FLAIR MR.
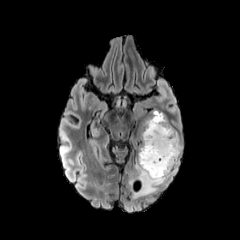
T1-weighted magnetic resonance.
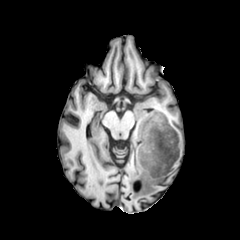
Post-contrast T1-weighted magnetic resonance.
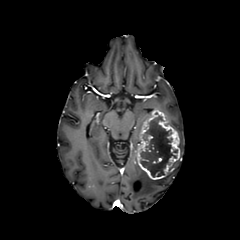
T2-weighted magnetic resonance.
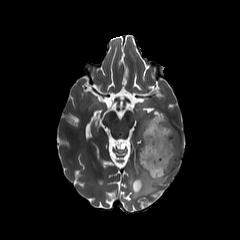
Axial slice; Brain
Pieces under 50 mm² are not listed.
peritumoral edema = x1=129, y1=159, x2=179, y2=198; x1=179, y1=134, x2=183, y2=154
enhancing tumor = x1=137, y1=109, x2=180, y2=179
necrotic tumor core = x1=140, y1=116, x2=176, y2=177